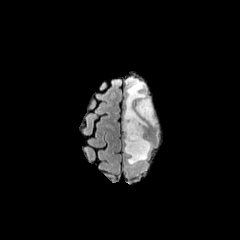
FLAIR MRI.
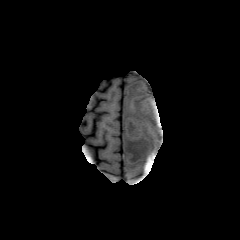
T1-weighted MR.
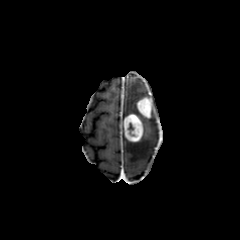
Same slice, post-contrast T1-weighted magnetic resonance.
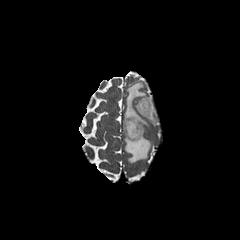
T2-weighted magnetic resonance of the same slice.
Brain, Axial slice
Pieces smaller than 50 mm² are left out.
peritumoral_edema:
  - [124,81,147,127]
  - [145,109,155,125]
  - [124,136,151,164]
enhancing_tumor:
  - [123,114,143,141]
  - [137,97,152,118]
necrotic_tumor_core:
  - [128,123,134,135]